FLAIR magnetic resonance.
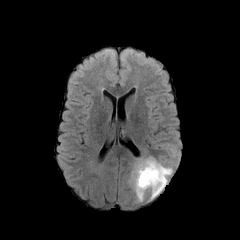
T1-weighted MR.
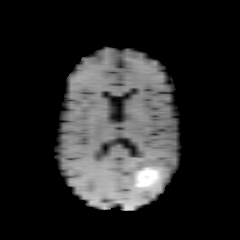
Post-contrast T1-weighted magnetic resonance.
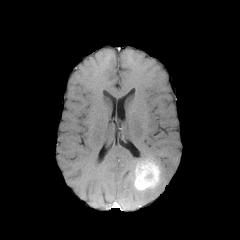
T2-weighted MRI.
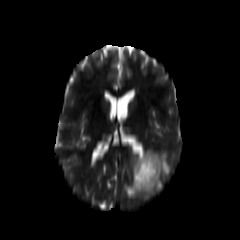
Brain.
enhancing tumor at [x1=134, y1=158, x2=160, y2=190]
peritumoral edema at [x1=129, y1=154, x2=172, y2=201]